FLAIR MRI.
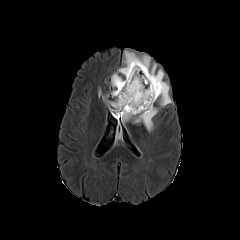
T1-weighted MR.
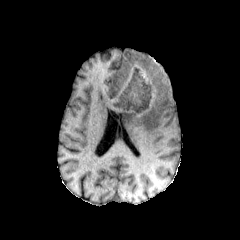
Post-contrast T1-weighted MR.
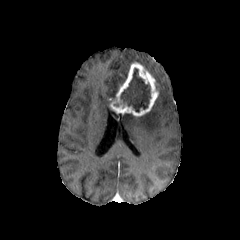
T2-weighted MR.
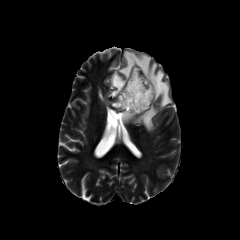
Brain
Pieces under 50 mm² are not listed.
• peritumoral edema: [110, 50, 172, 107], [124, 106, 158, 131], [103, 95, 111, 107]
• necrotic tumor core: [120, 68, 150, 112]
• enhancing tumor: [110, 62, 158, 116]